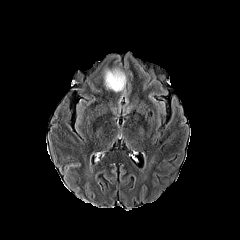
FLAIR magnetic resonance.
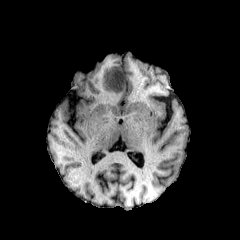
T1-weighted magnetic resonance.
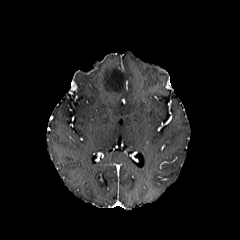
Post-contrast T1-weighted MRI.
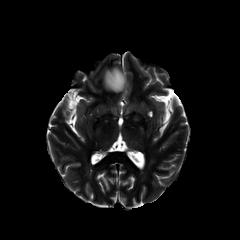
T2-weighted MR image of the same slice.
peritumoral edema — 104, 69, 125, 92